Brain. Axial plane.
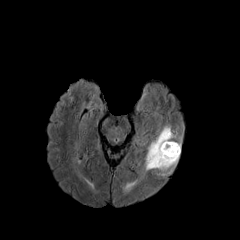
FLAIR MR.
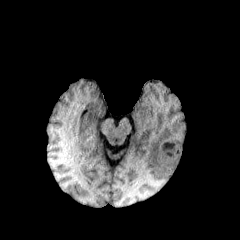
Same slice, T1-weighted MRI.
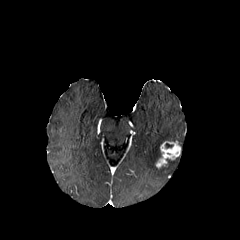
Post-contrast T1-weighted magnetic resonance.
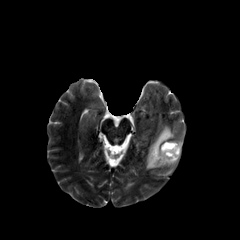
Same slice, T2-weighted MR.
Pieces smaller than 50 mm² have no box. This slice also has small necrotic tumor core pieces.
enhancing tumor: bounding box 155, 141, 181, 167
peritumoral edema: bounding box 145, 125, 178, 175